Head | 240x240
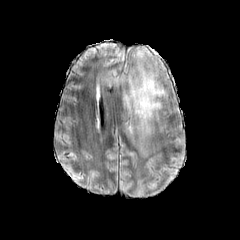
FLAIR MRI.
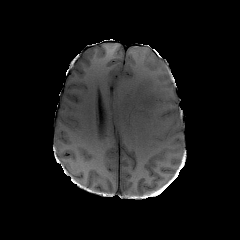
T1-weighted MR image.
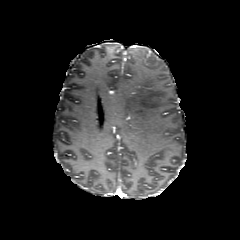
Post-contrast T1-weighted MRI.
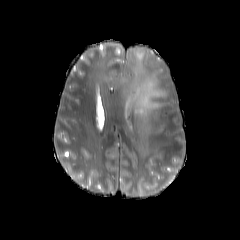
T2-weighted magnetic resonance.
peritumoral_edema:
  - [117, 63, 167, 135]